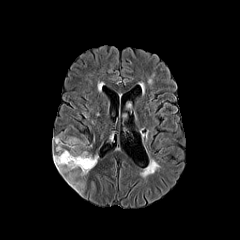
FLAIR MR image.
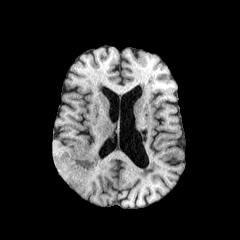
Same slice, T1-weighted MR image.
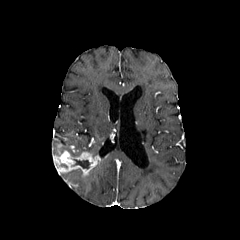
Post-contrast T1-weighted MRI.
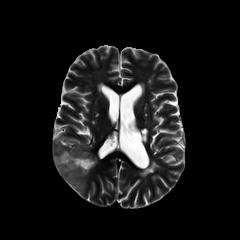
Same slice, T2-weighted MR.
Brain; 240x240 px
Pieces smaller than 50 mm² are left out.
The largest enhancing tumor region is at bbox=[53, 150, 98, 176]. The largest necrotic tumor core region is bounded by bbox=[73, 159, 89, 168]. The 3 largest peritumoral edema regions are bounded by bbox=[53, 137, 63, 154]; bbox=[59, 169, 85, 194]; bbox=[65, 137, 87, 155].